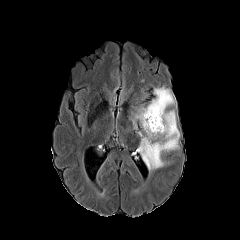
FLAIR MR.
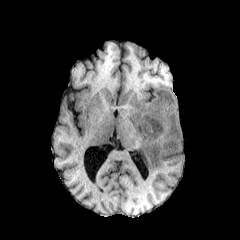
T1-weighted MR image of the same slice.
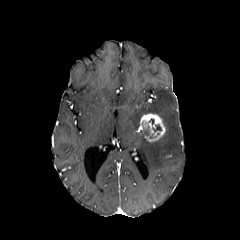
Post-contrast T1-weighted MR image.
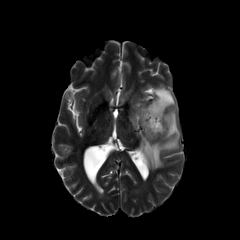
T2-weighted magnetic resonance.
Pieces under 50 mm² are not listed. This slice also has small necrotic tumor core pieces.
Findings:
• peritumoral edema: (132, 87, 180, 170)
• enhancing tumor: (140, 113, 165, 141)